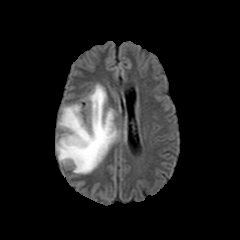
FLAIR magnetic resonance.
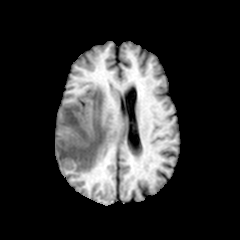
Same slice, T1-weighted MR.
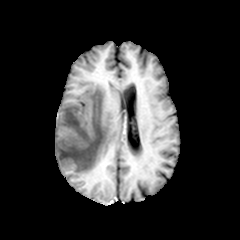
Same slice, post-contrast T1-weighted MRI.
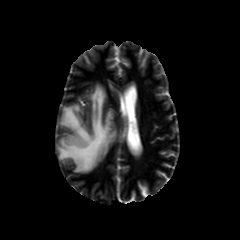
T2-weighted magnetic resonance of the same slice.
Head.
peritumoral edema = box=[56, 84, 119, 173]